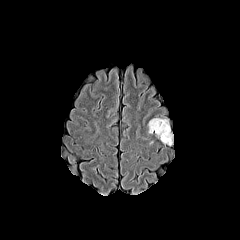
FLAIR MR image.
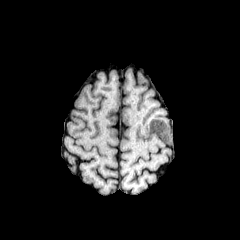
T1-weighted MR image.
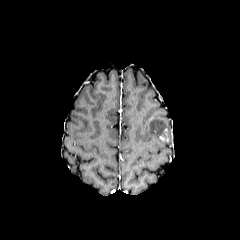
Post-contrast T1-weighted MR of the same slice.
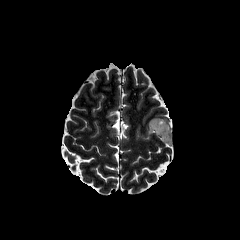
T2-weighted MR image.
enhancing tumor: left=160, top=128, right=169, bottom=141
peritumoral edema: left=148, top=118, right=171, bottom=144